Brain | Axial view
FLAIR magnetic resonance.
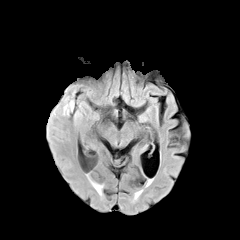
T1-weighted MR image.
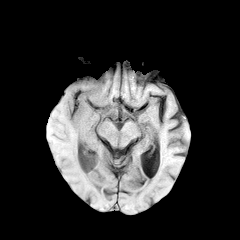
Post-contrast T1-weighted MR image.
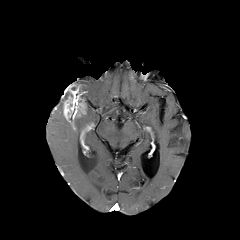
T2-weighted magnetic resonance.
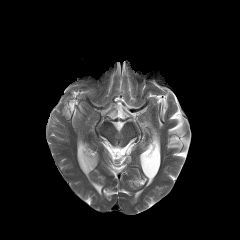
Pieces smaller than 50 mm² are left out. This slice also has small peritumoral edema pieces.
enhancing_tumor:
  - (64, 90, 84, 118)